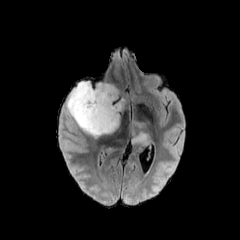
FLAIR MR image.
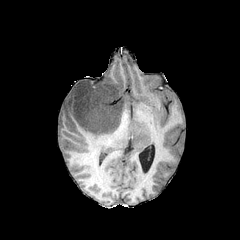
Same slice, T1-weighted MR.
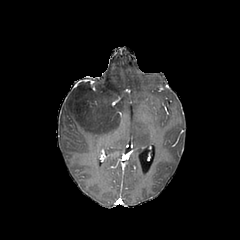
Post-contrast T1-weighted MR image of the same slice.
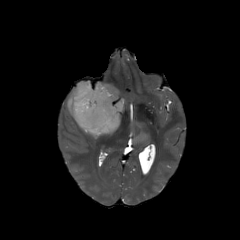
T2-weighted MRI of the same slice.
Axial slice | 240x240 px | Brain
peritumoral edema: bounding box 67 81 125 139, 125 113 150 149